Axial slice
FLAIR magnetic resonance.
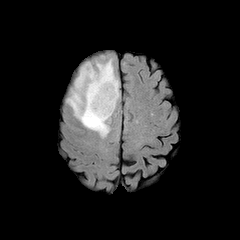
T1-weighted magnetic resonance.
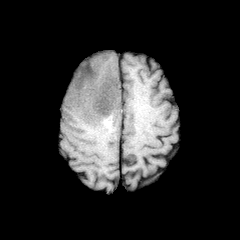
Post-contrast T1-weighted MRI.
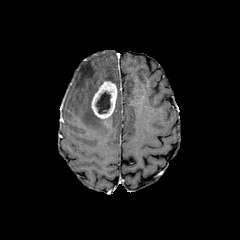
T2-weighted MR.
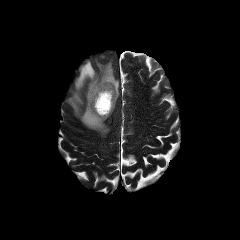
The peritumoral edema lies within [x1=67, y1=59, x2=119, y2=136]. The enhancing tumor is located at [x1=91, y1=81, x2=117, y2=118]. The necrotic tumor core lies within [x1=96, y1=92, x2=110, y2=113].